FLAIR magnetic resonance.
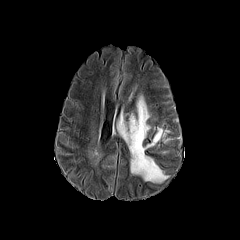
T1-weighted MR image.
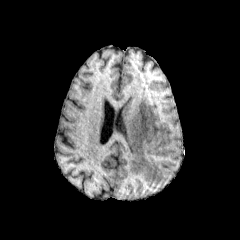
Post-contrast T1-weighted MR image.
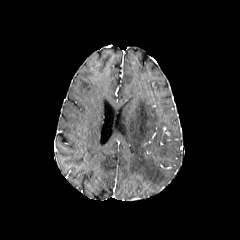
T2-weighted MRI.
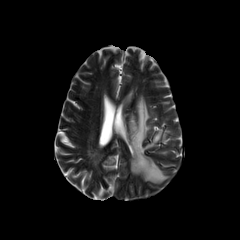
240x240 px. Head.
<segmentation>
  <peritumoral_edema>x1=116, y1=96, x2=167, y2=182</peritumoral_edema>
</segmentation>